Image width 240 mm; 240x240; Slice 131/155; Head
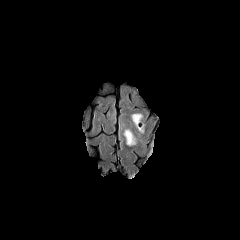
FLAIR MR image.
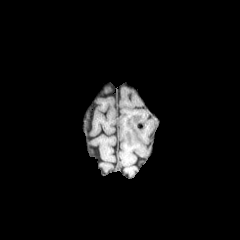
T1-weighted MR image of the same slice.
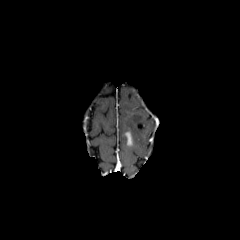
Post-contrast T1-weighted MR image.
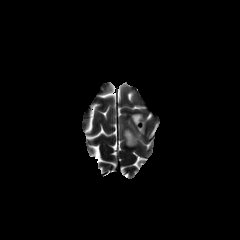
T2-weighted MRI.
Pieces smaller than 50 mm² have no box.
{"peritumoral_edema": ["box(123, 129, 136, 145)"], "enhancing_tumor": ["box(125, 131, 132, 145)"]}